Axial slice | Head | Image size 240x240
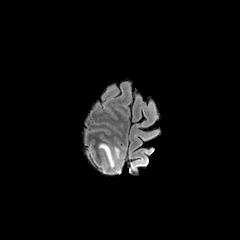
FLAIR MRI.
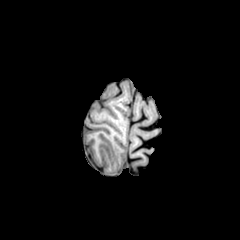
T1-weighted MR image of the same slice.
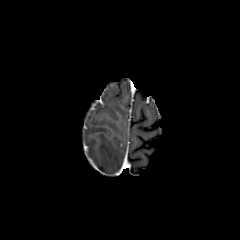
Post-contrast T1-weighted MRI.
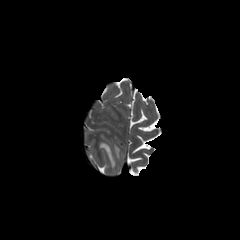
T2-weighted magnetic resonance.
<segmentation>
  <peritumoral_edema>x1=99, y1=143, x2=119, y2=167</peritumoral_edema>
</segmentation>